Image size 240x240, Axial plane, Head
FLAIR MR.
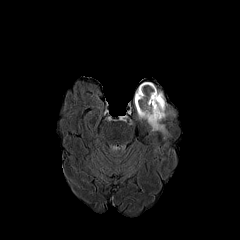
T1-weighted MR.
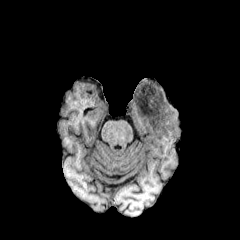
Post-contrast T1-weighted MR.
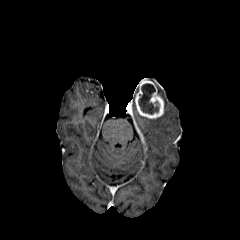
T2-weighted MRI.
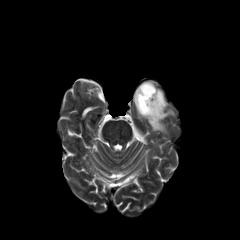
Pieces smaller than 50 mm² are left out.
{
  "necrotic_tumor_core": [
    "box(138, 83, 158, 114)"
  ],
  "peritumoral_edema": [
    "box(138, 90, 174, 134)"
  ],
  "enhancing_tumor": [
    "box(135, 80, 164, 119)"
  ]
}